Slice index 26, Brain
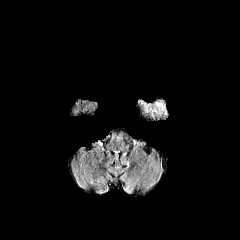
FLAIR MR.
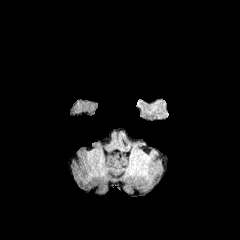
T1-weighted magnetic resonance.
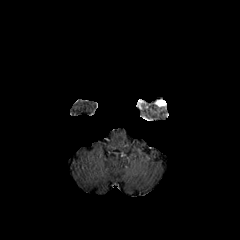
Same slice, post-contrast T1-weighted MRI.
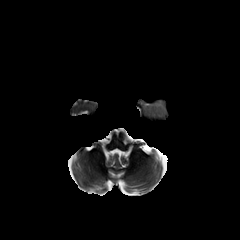
T2-weighted MR image.
2 enhancing tumor regions are bounded by <bbox>154, 99, 165, 109</bbox>, <bbox>138, 99, 150, 108</bbox>. The peritumoral edema is located at <bbox>143, 104, 166, 115</bbox>.